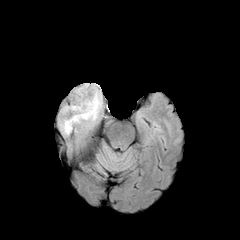
FLAIR MR image.
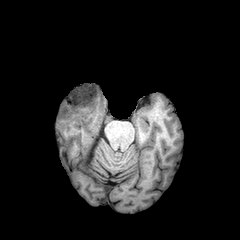
T1-weighted MRI.
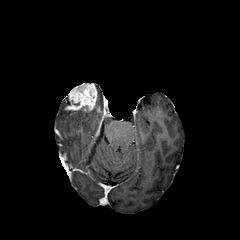
Same slice, post-contrast T1-weighted MR image.
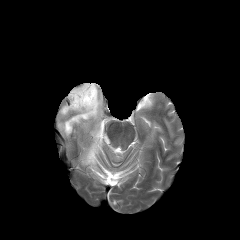
T2-weighted MR.
Axial plane; Brain
The peritumoral edema is located at (left=59, top=83, right=102, bottom=135). The enhancing tumor is bounded by (left=64, top=83, right=97, bottom=111).